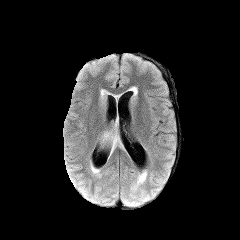
FLAIR MRI.
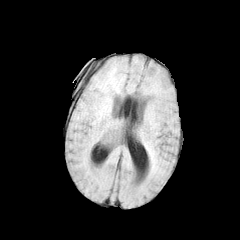
T1-weighted MR of the same slice.
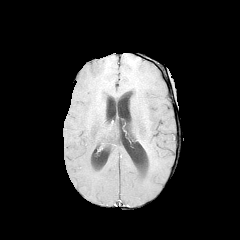
Post-contrast T1-weighted MRI.
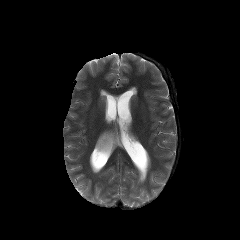
T2-weighted MRI.
Brain, Axial view
peritumoral edema — x1=99, y1=122, x2=123, y2=156